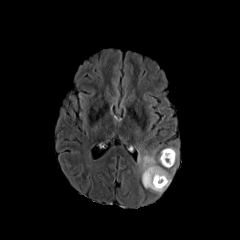
FLAIR MRI.
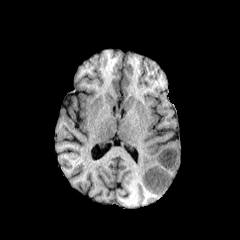
T1-weighted MR.
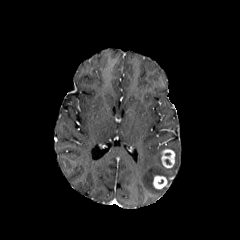
Post-contrast T1-weighted MRI.
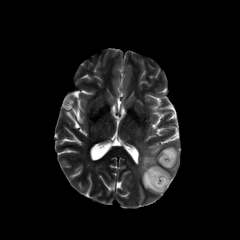
T2-weighted MR of the same slice.
Axial plane | 240x240 | Brain
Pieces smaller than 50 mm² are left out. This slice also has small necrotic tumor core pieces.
peritumoral edema at rect(138, 147, 178, 195)
enhancing tumor at rect(161, 149, 175, 168); rect(153, 175, 167, 189)